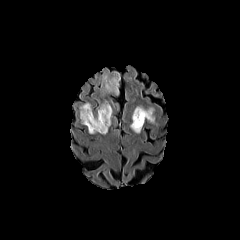
FLAIR magnetic resonance.
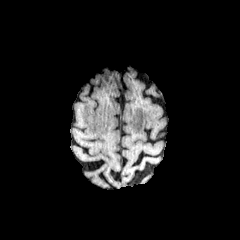
T1-weighted MR image.
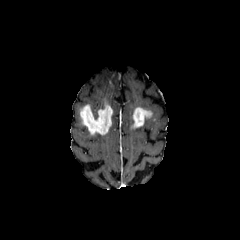
Post-contrast T1-weighted magnetic resonance.
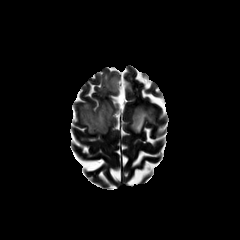
T2-weighted MR of the same slice.
240x240 px; Axial view
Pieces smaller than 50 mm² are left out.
The 2 largest peritumoral edema regions are bounded by (x1=145, y1=107, x2=155, y2=123), (x1=100, y1=72, x2=120, y2=95). 2 enhancing tumor regions are located at (x1=80, y1=101, x2=112, y2=134), (x1=131, y1=107, x2=151, y2=128).